FLAIR MRI.
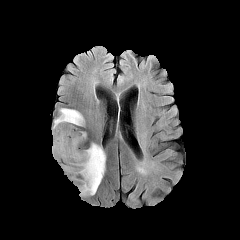
T1-weighted magnetic resonance.
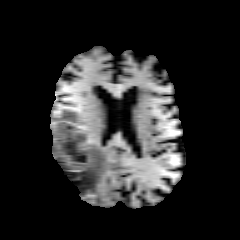
Post-contrast T1-weighted MR image.
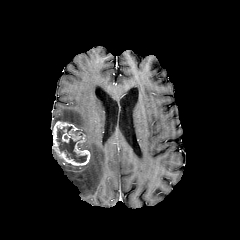
T2-weighted MRI.
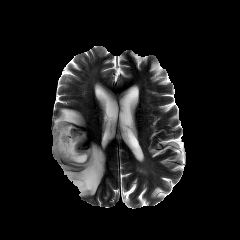
Head; Axial slice
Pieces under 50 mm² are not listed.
{"necrotic_tumor_core": ["(57,128,86,162)"], "peritumoral_edema": ["(61,143,105,196)", "(53,108,84,125)"], "enhancing_tumor": ["(52,121,90,165)"]}